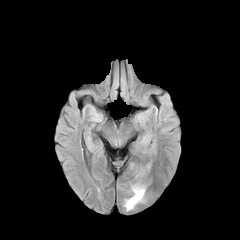
FLAIR MRI.
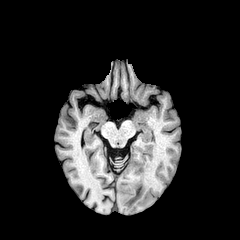
T1-weighted MR.
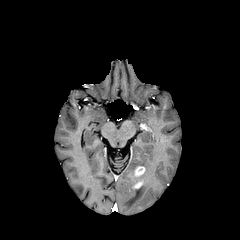
Post-contrast T1-weighted MRI of the same slice.
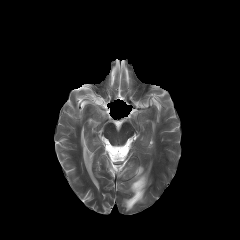
T2-weighted MR image.
Axial plane | Image size 240x240 | Brain
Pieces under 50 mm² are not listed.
The largest peritumoral edema region lies within box=[124, 182, 145, 210]. 2 enhancing tumor regions are located at box=[132, 179, 143, 189]; box=[134, 167, 144, 177].